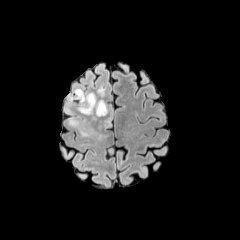
FLAIR MRI.
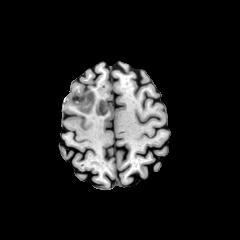
Same slice, T1-weighted MR image.
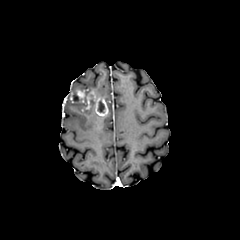
Post-contrast T1-weighted magnetic resonance of the same slice.
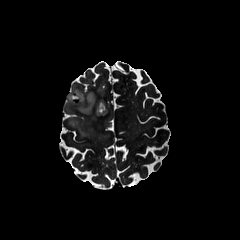
T2-weighted MR.
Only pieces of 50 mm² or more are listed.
enhancing tumor: region(69, 90, 108, 116) | peritumoral edema: region(67, 94, 94, 115); region(69, 118, 105, 139); region(97, 87, 104, 97); region(105, 104, 112, 128) | necrotic tumor core: region(98, 101, 104, 112)